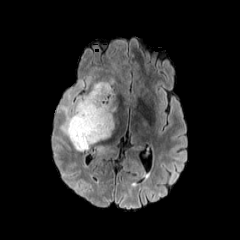
FLAIR magnetic resonance.
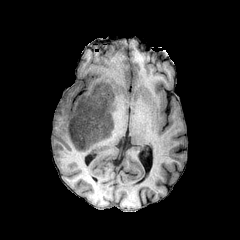
T1-weighted MRI of the same slice.
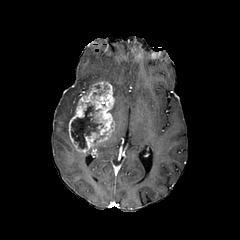
Post-contrast T1-weighted magnetic resonance of the same slice.
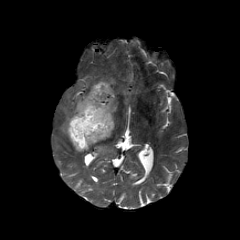
Same slice, T2-weighted MR image.
240x240. Head.
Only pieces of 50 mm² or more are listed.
peritumoral edema: box(99, 78, 114, 86); box(55, 78, 93, 137)
necrotic tumor core: box(71, 105, 101, 148)
enhancing tumor: box(68, 81, 115, 152)